FLAIR magnetic resonance.
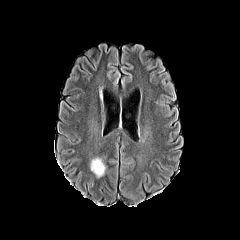
T1-weighted MR image.
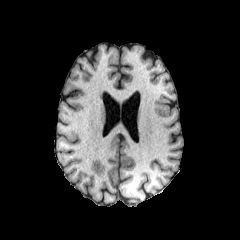
Post-contrast T1-weighted MR image.
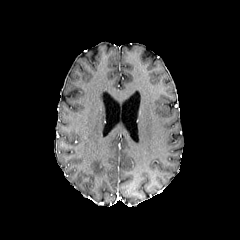
T2-weighted MRI.
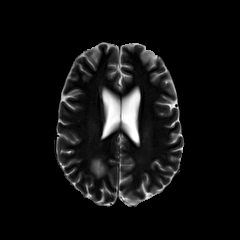
The peritumoral edema is located at 90,158,105,177.